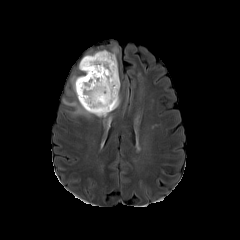
FLAIR magnetic resonance.
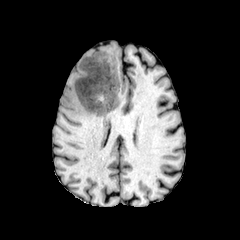
T1-weighted MR image of the same slice.
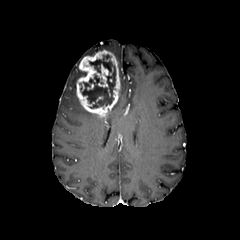
Same slice, post-contrast T1-weighted magnetic resonance.
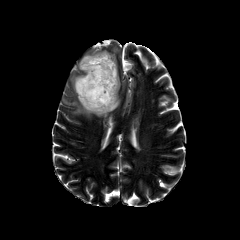
Same slice, T2-weighted MR.
240x240
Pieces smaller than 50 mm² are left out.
peritumoral edema — region(63, 99, 97, 117); region(103, 91, 120, 120); region(71, 72, 86, 93)
necrotic tumor core — region(80, 54, 115, 108)
enhancing tumor — region(76, 50, 120, 117)